FLAIR MRI.
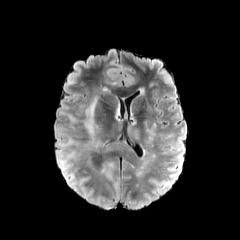
T1-weighted magnetic resonance.
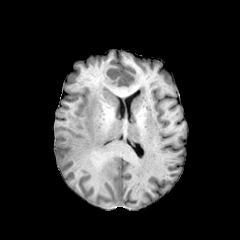
Post-contrast T1-weighted magnetic resonance.
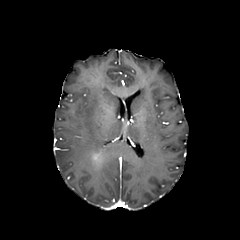
T2-weighted MR image.
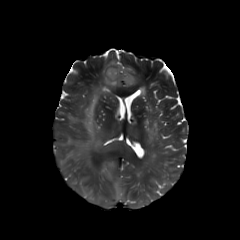
Head
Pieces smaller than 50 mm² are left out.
Findings:
* peritumoral edema: region(127, 125, 140, 143); region(83, 96, 101, 148); region(101, 162, 114, 179); region(62, 139, 74, 146); region(57, 151, 75, 173)
* enhancing tumor: region(93, 154, 100, 162)